FLAIR magnetic resonance.
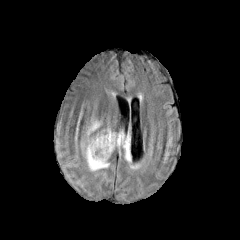
T1-weighted MR image.
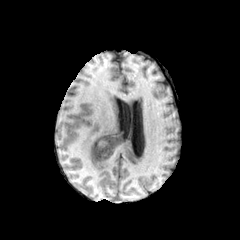
Post-contrast T1-weighted MR.
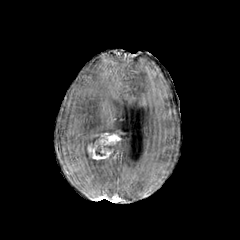
T2-weighted MRI.
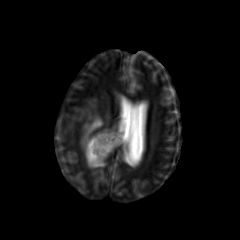
Head | Image size 240x240
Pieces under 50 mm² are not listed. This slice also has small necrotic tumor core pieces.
enhancing tumor: box(88, 133, 121, 159) | peritumoral edema: box(89, 120, 101, 131); box(85, 147, 108, 170); box(113, 134, 130, 161); box(88, 135, 99, 144)